FLAIR MR image.
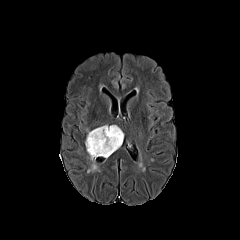
T1-weighted MRI.
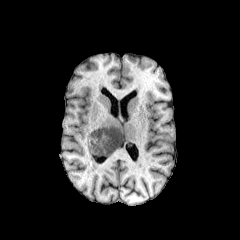
Post-contrast T1-weighted MR image.
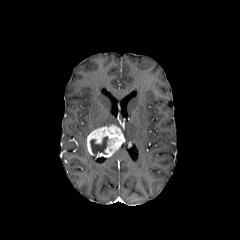
T2-weighted MRI.
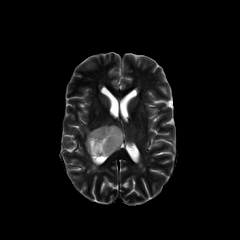
Axial slice.
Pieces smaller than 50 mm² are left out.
enhancing tumor: (87, 125, 123, 157) | peritumoral edema: (87, 154, 99, 172) | necrotic tumor core: (90, 137, 107, 156)